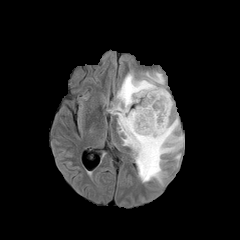
FLAIR MR image.
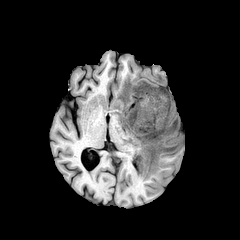
T1-weighted MRI.
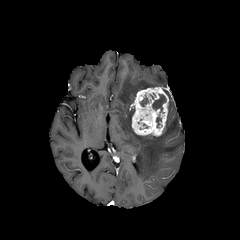
Post-contrast T1-weighted magnetic resonance.
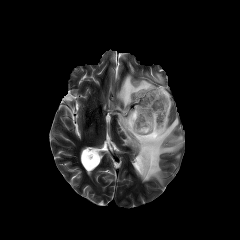
T2-weighted MRI.
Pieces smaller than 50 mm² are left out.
The largest peritumoral edema region appears at 110 72 184 183. The enhancing tumor lies within 131 86 169 137. The largest necrotic tumor core region is bounded by 152 94 165 110.